240x240
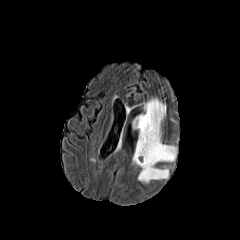
FLAIR MRI.
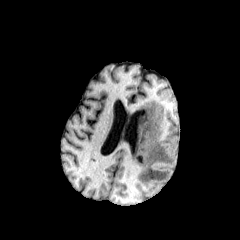
T1-weighted MR of the same slice.
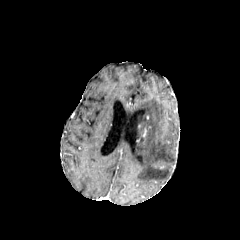
Post-contrast T1-weighted MR image.
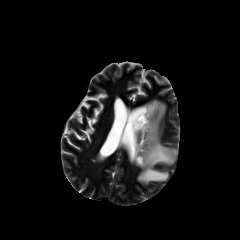
Same slice, T2-weighted MR.
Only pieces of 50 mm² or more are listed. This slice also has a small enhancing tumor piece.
peritumoral edema: bounding box [132, 98, 175, 183]